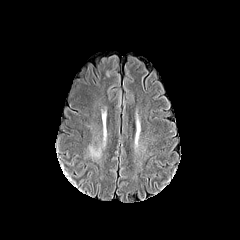
FLAIR MR image.
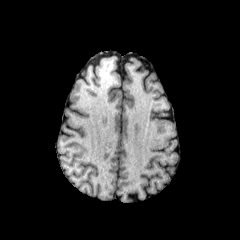
T1-weighted MR.
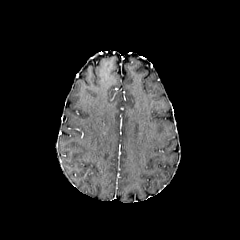
Post-contrast T1-weighted MRI of the same slice.
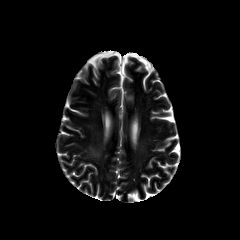
Same slice, T2-weighted MRI.
Axial plane. Brain.
The peritumoral edema is at bbox=[90, 148, 100, 156].